Image width 240 mm, 1.00 mm slice spacing
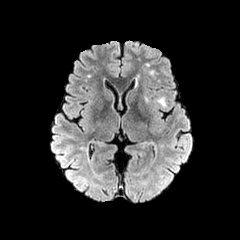
FLAIR MR image.
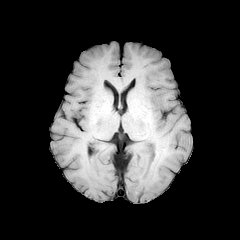
T1-weighted MRI.
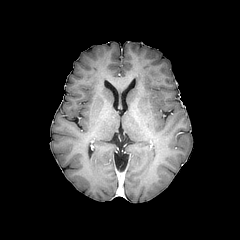
Same slice, post-contrast T1-weighted MR.
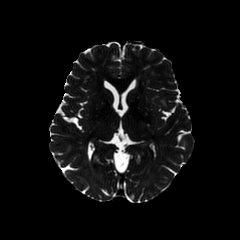
T2-weighted magnetic resonance.
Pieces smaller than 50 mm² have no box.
peritumoral edema at <bbox>157, 96, 165, 105</bbox>